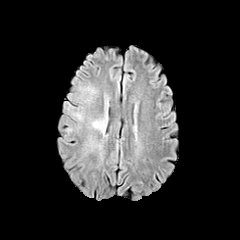
FLAIR MR.
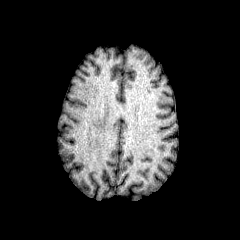
T1-weighted MR.
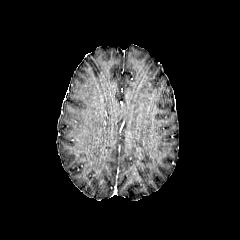
Same slice, post-contrast T1-weighted MR image.
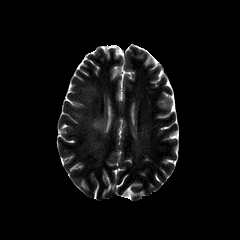
Same slice, T2-weighted MR.
Axial view; Brain
peritumoral edema: <bbox>86, 87, 95, 100</bbox>, <bbox>73, 112, 83, 120</bbox>, <bbox>90, 117, 107, 134</bbox>